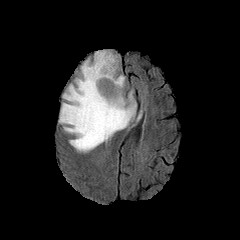
FLAIR MR.
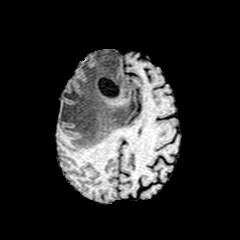
Same slice, T1-weighted MR.
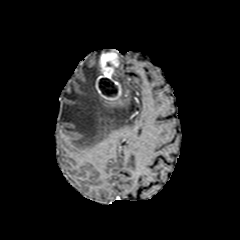
Post-contrast T1-weighted MR image of the same slice.
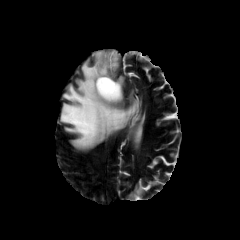
T2-weighted MR image of the same slice.
Axial view
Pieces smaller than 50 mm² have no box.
Segmented structures:
* necrotic tumor core: 98:78:117:96
* peritumoral edema: 59:50:136:152
* enhancing tumor: 95:49:121:100